FLAIR MR.
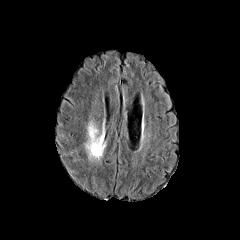
T1-weighted MRI.
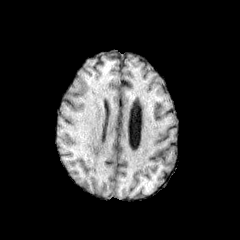
Post-contrast T1-weighted MR image.
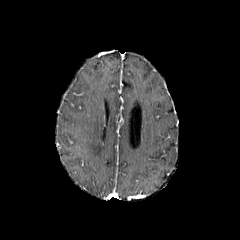
T2-weighted MR.
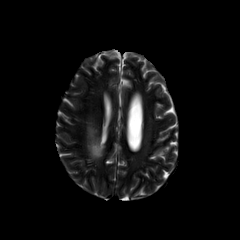
Axial plane | Head
The peritumoral edema appears at 86,123,105,158.